FLAIR MRI.
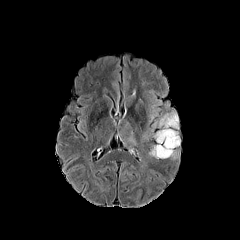
T1-weighted MR image.
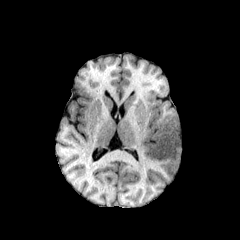
Post-contrast T1-weighted MR.
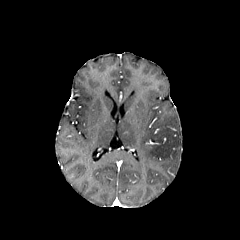
T2-weighted MRI.
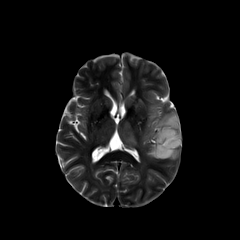
240x240
peritumoral edema — region(149, 112, 180, 159); region(126, 133, 137, 145)